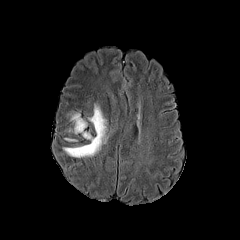
FLAIR MR.
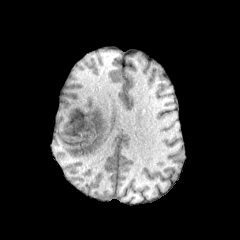
T1-weighted MR.
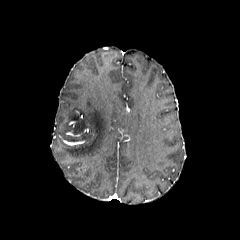
Post-contrast T1-weighted MRI of the same slice.
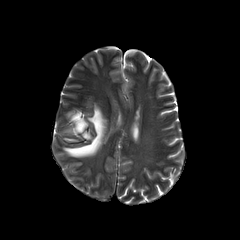
Same slice, T2-weighted MR image.
Image size 240x240 | Head
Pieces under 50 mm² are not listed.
peritumoral edema = [x1=63, y1=104, x2=107, y2=157]